FLAIR MR.
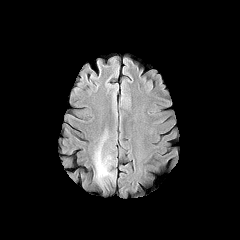
T1-weighted magnetic resonance.
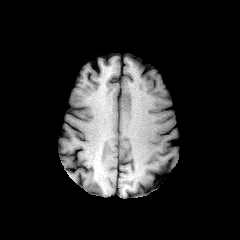
Post-contrast T1-weighted MR image.
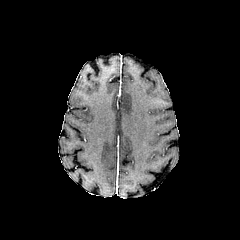
T2-weighted MR.
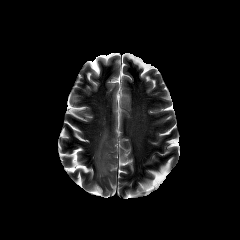
Head
The peritumoral edema is bounded by bbox=[95, 151, 111, 178].